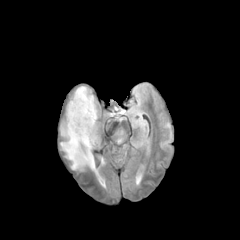
FLAIR MR image.
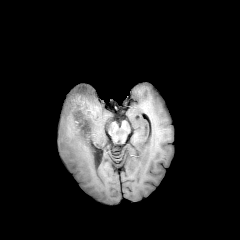
T1-weighted MR image.
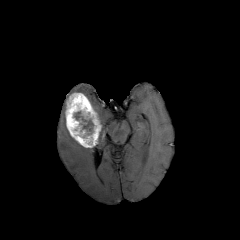
Post-contrast T1-weighted MR.
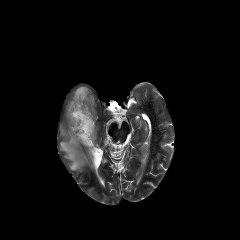
Same slice, T2-weighted MR.
Image size 240x240 | Head
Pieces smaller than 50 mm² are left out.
Findings:
• necrotic tumor core: 82 117 93 131
• peritumoral edema: 75 86 96 112, 60 126 95 170
• enhancing tumor: 65 92 100 147